FLAIR magnetic resonance.
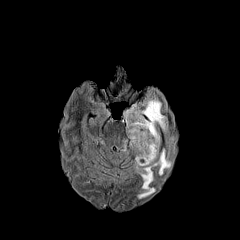
T1-weighted MR image.
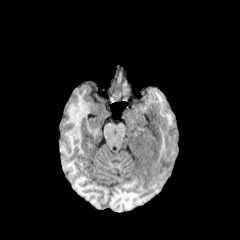
Post-contrast T1-weighted MRI.
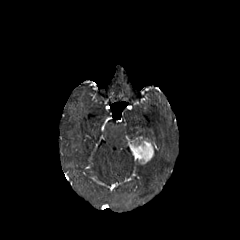
T2-weighted MR.
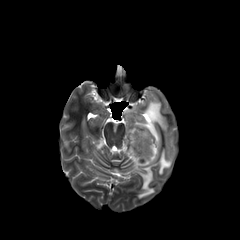
Axial plane | Head
enhancing_tumor:
  - 129,136,156,164
peritumoral_edema:
  - 125,98,171,198
  - 168,137,174,152